Image size 240x240. Slice index 57. Head.
FLAIR MR.
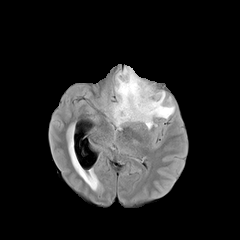
T1-weighted MRI.
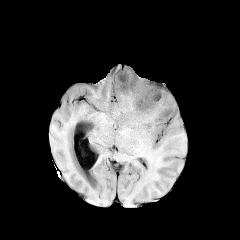
Post-contrast T1-weighted MRI.
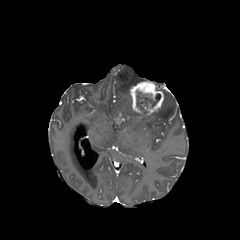
T2-weighted magnetic resonance.
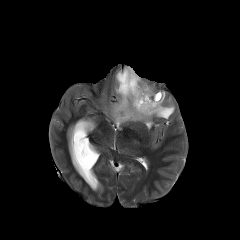
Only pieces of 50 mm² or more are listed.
Findings:
- peritumoral edema: 111:67:174:129
- necrotic tumor core: 137:92:160:110
- enhancing tumor: 130:81:163:115